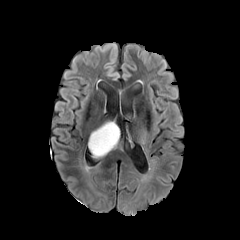
FLAIR magnetic resonance.
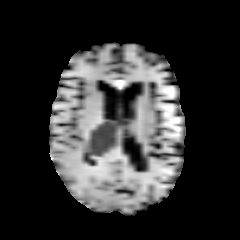
Same slice, T1-weighted MRI.
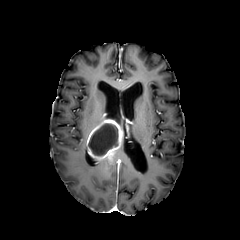
Same slice, post-contrast T1-weighted magnetic resonance.
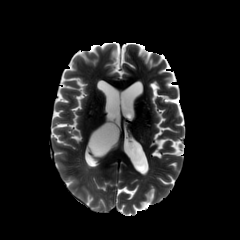
T2-weighted MRI.
Brain | Axial slice
The enhancing tumor is at x1=87 y1=119 x2=122 y2=163. The necrotic tumor core is located at x1=88 y1=124 x2=117 y2=155.